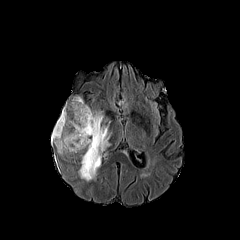
FLAIR MR image.
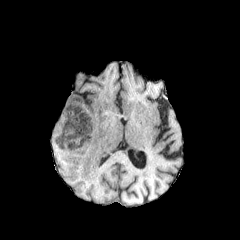
T1-weighted magnetic resonance of the same slice.
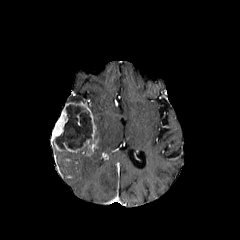
Post-contrast T1-weighted MR image of the same slice.
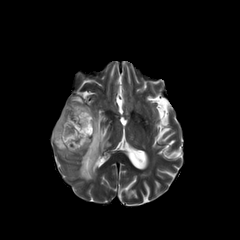
T2-weighted magnetic resonance.
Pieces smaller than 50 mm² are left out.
peritumoral edema at {"x1": 79, "y1": 114, "x2": 110, "y2": 180}, {"x1": 71, "y1": 96, "x2": 83, "y2": 102}
necrotic tumor core at {"x1": 55, "y1": 104, "x2": 92, "y2": 149}
enhancing tumor at {"x1": 51, "y1": 101, "x2": 98, "y2": 156}